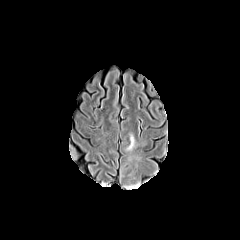
FLAIR MR.
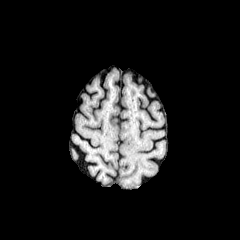
Same slice, T1-weighted magnetic resonance.
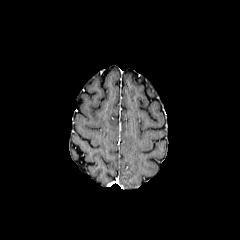
Post-contrast T1-weighted magnetic resonance.
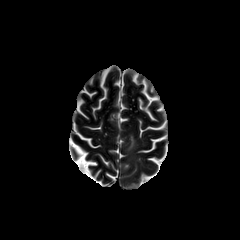
Same slice, T2-weighted MRI.
The peritumoral edema lies within {"x1": 127, "y1": 135, "x2": 134, "y2": 149}.